Slice 62/155. Brain. Axial slice. Image size 240x240.
FLAIR MRI.
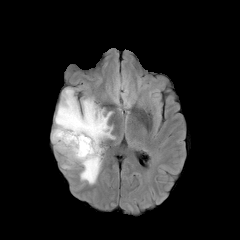
T1-weighted MR.
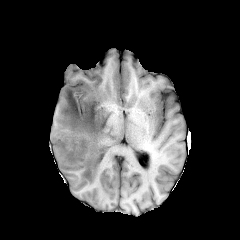
Post-contrast T1-weighted MRI.
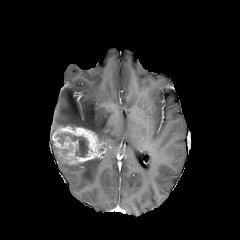
T2-weighted MR.
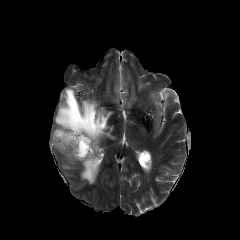
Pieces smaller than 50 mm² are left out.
• peritumoral edema: (x1=52, y1=88, x2=115, y2=142), (x1=62, y1=158, x2=75, y2=168), (x1=79, y1=158, x2=101, y2=184)
• enhancing tumor: (x1=52, y1=125, x2=100, y2=164)
• necrotic tumor core: (x1=60, y1=133, x2=87, y2=156)